FLAIR MRI.
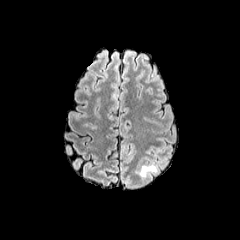
T1-weighted MR.
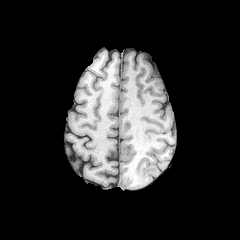
Post-contrast T1-weighted MR.
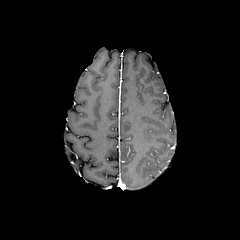
T2-weighted magnetic resonance.
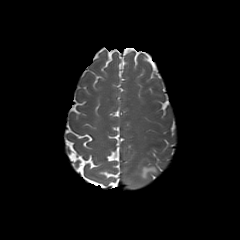
240x240, Axial view
Segmented structures:
* peritumoral edema: rect(136, 165, 157, 177)